Axial slice. Slice 55/155. Brain.
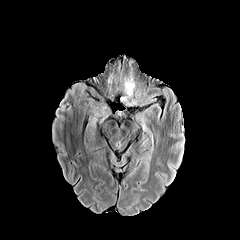
FLAIR MR.
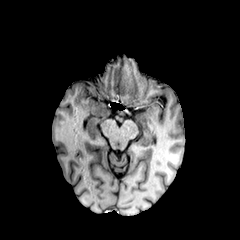
T1-weighted MR of the same slice.
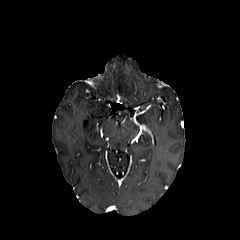
Post-contrast T1-weighted MR.
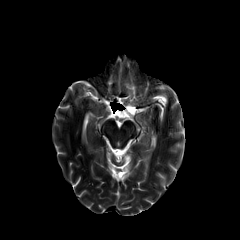
T2-weighted MR.
peritumoral edema — box(121, 77, 136, 107)